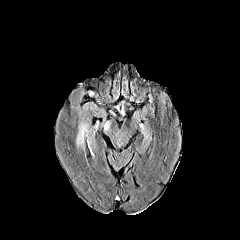
FLAIR magnetic resonance.
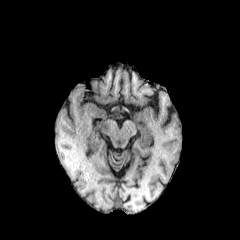
T1-weighted magnetic resonance.
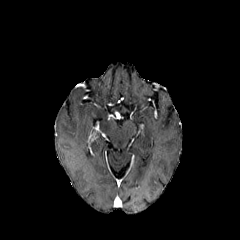
Post-contrast T1-weighted MRI.
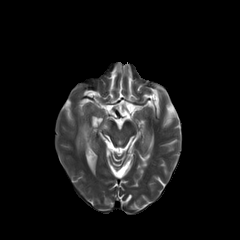
T2-weighted MR of the same slice.
Axial plane. 240x240 px.
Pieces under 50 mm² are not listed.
peritumoral_edema:
  - [x1=76, y1=123, x2=88, y2=147]